FLAIR MRI.
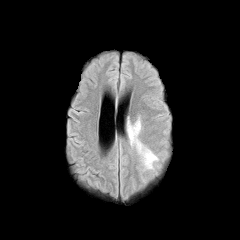
T1-weighted MRI.
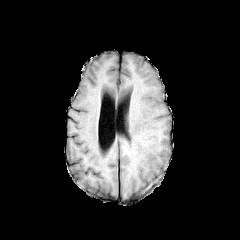
Post-contrast T1-weighted magnetic resonance.
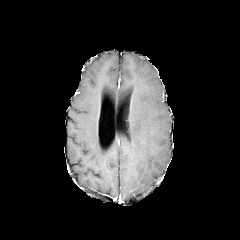
T2-weighted MR.
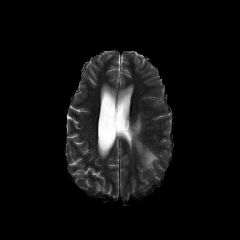
240x240 px
Findings:
- peritumoral edema: (143,149,157,168), (128,120,142,152)